Axial slice. Head.
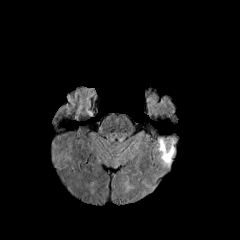
FLAIR magnetic resonance.
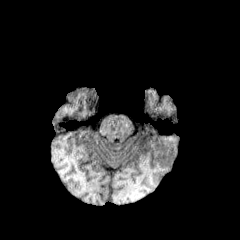
T1-weighted MR image of the same slice.
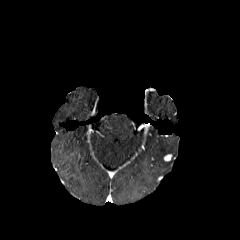
Post-contrast T1-weighted magnetic resonance.
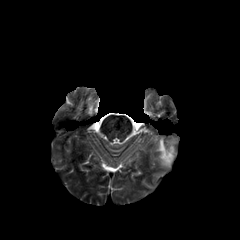
Same slice, T2-weighted MR.
The peritumoral edema is at x1=157, y1=138, x2=174, y2=166. The enhancing tumor is bounded by x1=163, y1=154, x2=172, y2=161.